FLAIR MR.
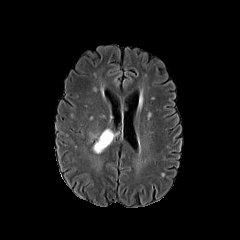
T1-weighted MR image.
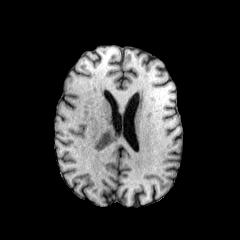
Post-contrast T1-weighted magnetic resonance.
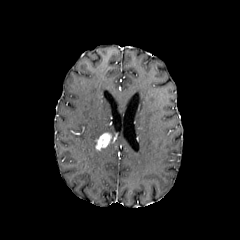
T2-weighted magnetic resonance.
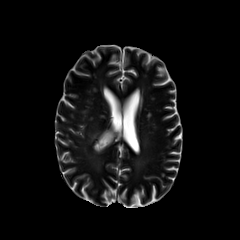
Axial view | 240x240
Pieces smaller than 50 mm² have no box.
<segmentation>
  <peritumoral_edema>region(93, 140, 105, 153); region(101, 129, 114, 143)</peritumoral_edema>
  <enhancing_tumor>region(96, 132, 111, 150)</enhancing_tumor>
</segmentation>